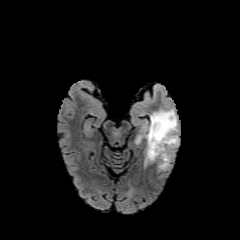
FLAIR magnetic resonance.
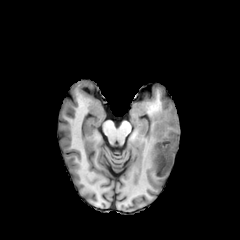
Same slice, T1-weighted MR.
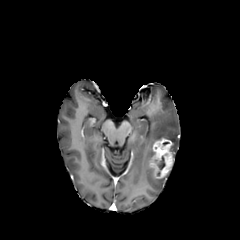
Post-contrast T1-weighted MR image.
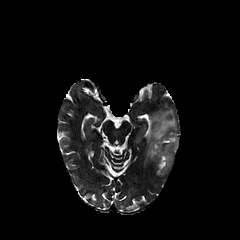
T2-weighted MR.
240x240; Brain
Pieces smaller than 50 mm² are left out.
{
  "peritumoral_edema": [
    "144:109:178:165"
  ],
  "enhancing_tumor": [
    "150:138:173:177"
  ],
  "necrotic_tumor_core": [
    "158:156:165:169"
  ]
}